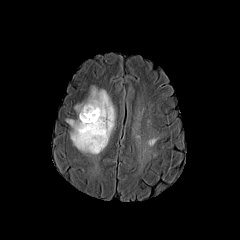
FLAIR MR.
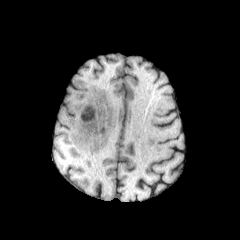
T1-weighted MR image.
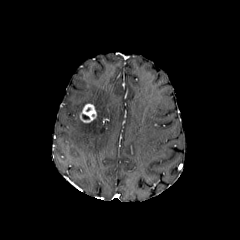
Post-contrast T1-weighted MR image of the same slice.
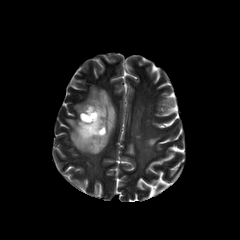
T2-weighted MR of the same slice.
Brain
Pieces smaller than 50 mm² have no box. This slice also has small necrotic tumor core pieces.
<segmentation>
  <enhancing_tumor>left=80, top=104, right=97, bottom=122</enhancing_tumor>
  <peritumoral_edema>left=66, top=86, right=115, bottom=154</peritumoral_edema>
</segmentation>